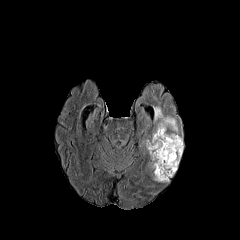
FLAIR magnetic resonance.
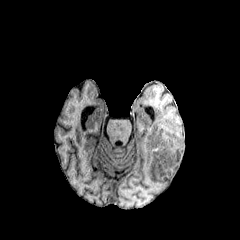
T1-weighted MRI of the same slice.
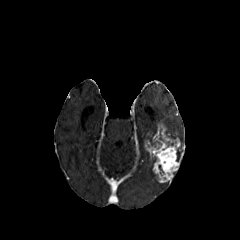
Post-contrast T1-weighted MR.
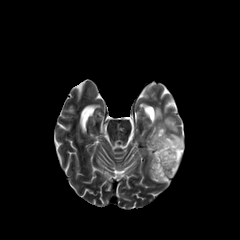
T2-weighted MRI.
Brain
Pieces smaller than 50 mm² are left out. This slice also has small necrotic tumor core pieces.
The largest enhancing tumor region is at bbox(145, 123, 184, 182). The largest peritumoral edema region appears at bbox(152, 107, 183, 142).